Image width 240 mm, 1.00 mm slice spacing, Image size 240x240, Slice index 121
FLAIR MRI.
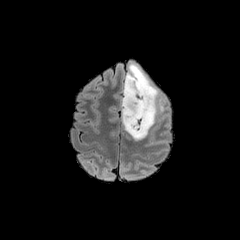
T1-weighted MR image.
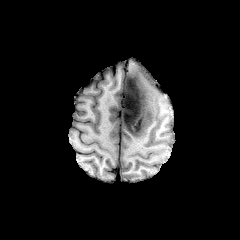
Post-contrast T1-weighted magnetic resonance.
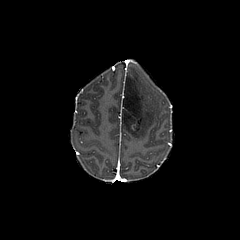
T2-weighted MR.
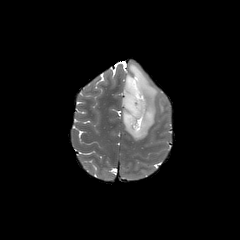
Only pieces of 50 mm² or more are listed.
Annotated regions:
• peritumoral edema: (x1=129, y1=63, x2=157, y2=140)
• necrotic tumor core: (x1=121, y1=73, x2=146, y2=135)